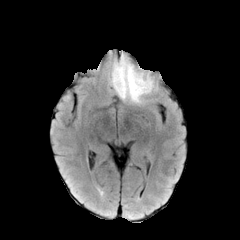
FLAIR MR image.
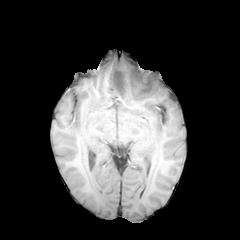
T1-weighted MR image.
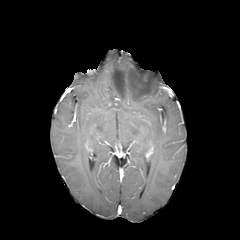
Post-contrast T1-weighted MRI.
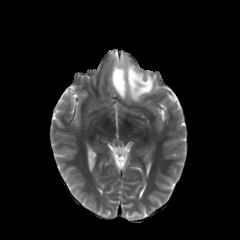
Same slice, T2-weighted MRI.
Axial slice, Head
The peritumoral edema lies within 112,56,157,102.